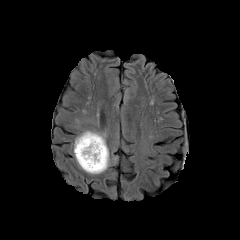
FLAIR MR image.
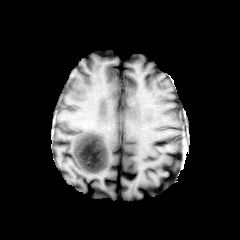
T1-weighted magnetic resonance.
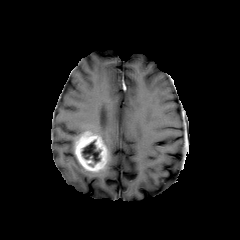
Same slice, post-contrast T1-weighted MR.
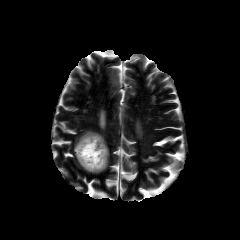
Same slice, T2-weighted MR.
Axial view
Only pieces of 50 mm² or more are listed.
necrotic tumor core: bounding box <box>82,140,101,163</box>
enhancing tumor: bounding box <box>74,132,108,172</box>
peritumoral edema: bounding box <box>75,130,106,145</box>, <box>73,149,109,174</box>